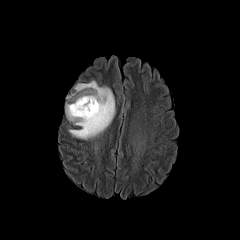
FLAIR magnetic resonance.
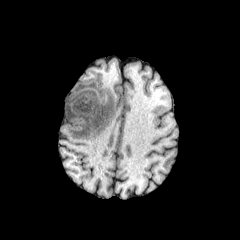
T1-weighted MR.
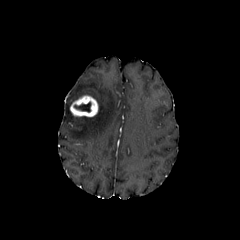
Post-contrast T1-weighted MRI.
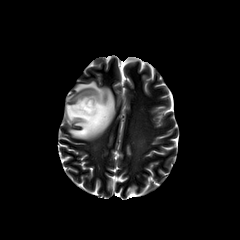
T2-weighted MR image of the same slice.
Axial plane. Image size 240x240.
<segmentation>
  <enhancing_tumor>box=[70, 95, 98, 117]</enhancing_tumor>
  <peritumoral_edema>box=[65, 80, 115, 140]</peritumoral_edema>
  <necrotic_tumor_core>box=[74, 102, 90, 111]</necrotic_tumor_core>
</segmentation>